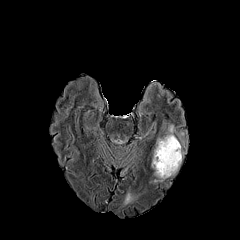
FLAIR MRI.
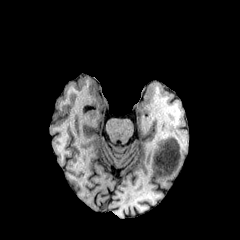
T1-weighted MR image.
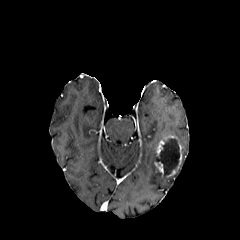
Post-contrast T1-weighted MR image.
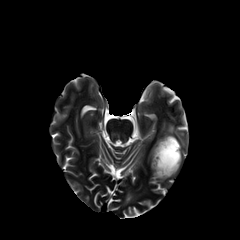
T2-weighted MRI.
Axial plane | Image size 240x240
Annotated regions:
- necrotic tumor core: {"x1": 155, "y1": 138, "x2": 179, "y2": 176}
- peritumoral edema: {"x1": 151, "y1": 138, "x2": 166, "y2": 181}, {"x1": 123, "y1": 190, "x2": 133, "y2": 204}, {"x1": 167, "y1": 125, "x2": 174, "y2": 135}
- enhancing tumor: {"x1": 154, "y1": 161, "x2": 163, "y2": 176}, {"x1": 166, "y1": 142, "x2": 181, "y2": 177}, {"x1": 156, "y1": 135, "x2": 175, "y2": 157}